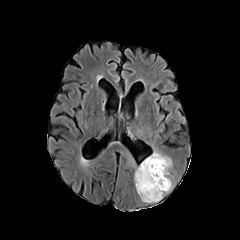
FLAIR MR.
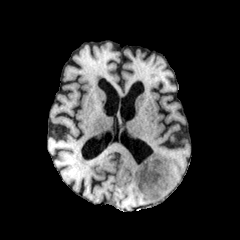
T1-weighted MR.
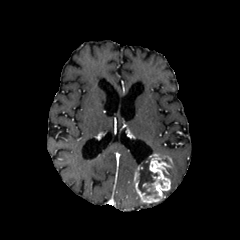
Post-contrast T1-weighted MR of the same slice.
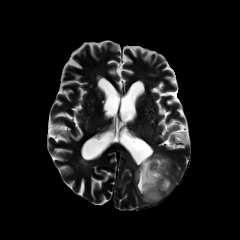
T2-weighted MR.
240x240 px.
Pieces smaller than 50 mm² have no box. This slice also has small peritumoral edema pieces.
{"necrotic_tumor_core": ["left=138, top=159, right=158, bottom=195"], "enhancing_tumor": ["left=134, top=154, right=173, bottom=202"]}